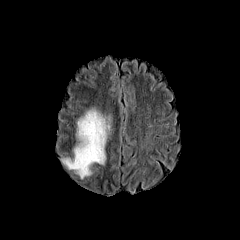
FLAIR MRI.
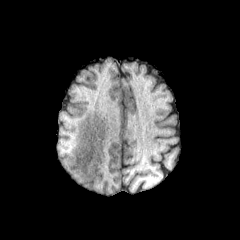
T1-weighted magnetic resonance.
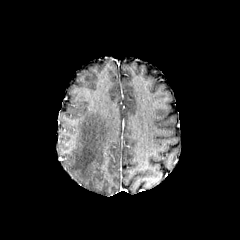
Same slice, post-contrast T1-weighted MR image.
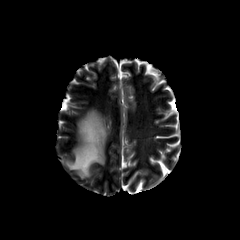
Same slice, T2-weighted MR image.
{"peritumoral_edema": ["box(60, 107, 111, 178)"]}